Image covers 240 mm x 240 mm; Axial view; Slice 45 of 155
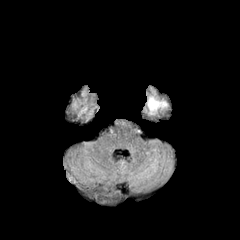
FLAIR magnetic resonance.
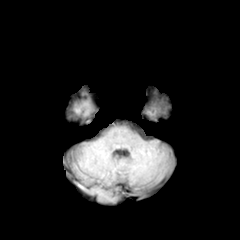
T1-weighted MRI.
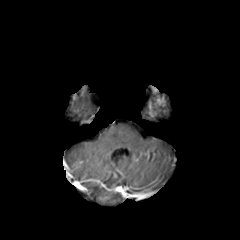
Same slice, post-contrast T1-weighted MR.
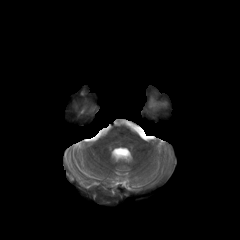
T2-weighted magnetic resonance.
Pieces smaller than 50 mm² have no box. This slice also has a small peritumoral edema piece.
The necrotic tumor core is located at rect(150, 97, 161, 111). The 2 largest enhancing tumor regions are bounded by rect(154, 96, 165, 107); rect(148, 100, 156, 115).